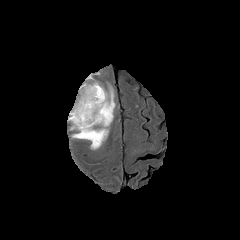
FLAIR MR image.
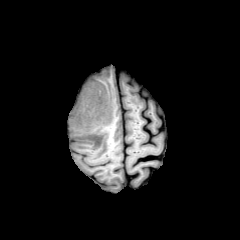
Same slice, T1-weighted MR.
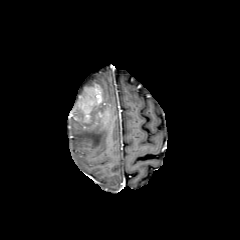
Post-contrast T1-weighted magnetic resonance of the same slice.
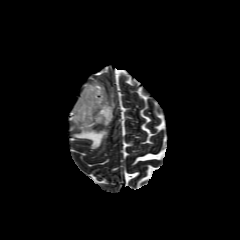
T2-weighted MR.
Axial slice
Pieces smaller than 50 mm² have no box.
Annotated regions:
- peritumoral edema: box(69, 86, 115, 149)
- enhancing tumor: box(69, 84, 103, 122); box(95, 107, 110, 124)